Image width 240 mm, 1.00 mm slice spacing, Axial view, 240x240
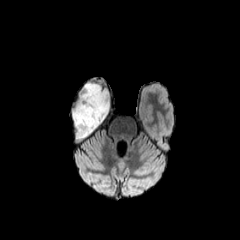
FLAIR MRI.
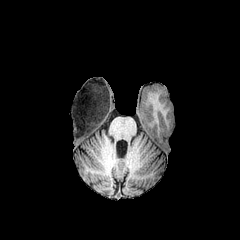
T1-weighted MR.
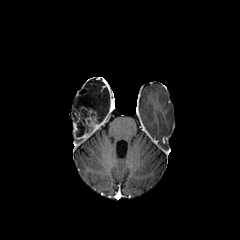
Post-contrast T1-weighted MR.
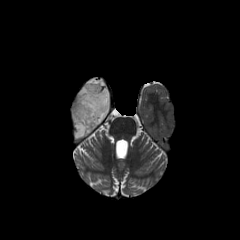
T2-weighted MRI.
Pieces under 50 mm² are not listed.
<segmentation>
  <enhancing_tumor>[73,107,100,138]</enhancing_tumor>
  <necrotic_tumor_core>[76,111,89,136]</necrotic_tumor_core>
  <peritumoral_edema>[72,82,109,123]</peritumoral_edema>
</segmentation>